FLAIR MR.
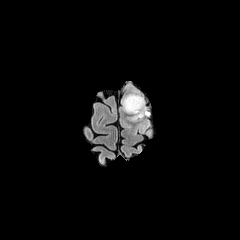
T1-weighted MR image.
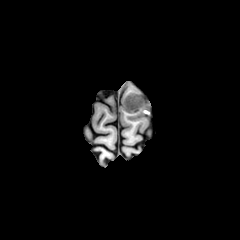
Post-contrast T1-weighted MR image.
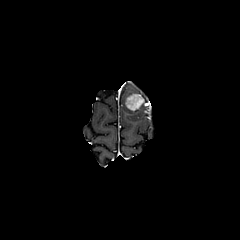
T2-weighted MR image.
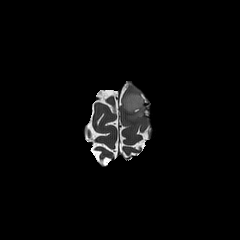
Axial slice
<segmentation>
  <enhancing_tumor>bbox=[125, 94, 144, 111]</enhancing_tumor>
  <peritumoral_edema>bbox=[122, 86, 146, 121]</peritumoral_edema>
</segmentation>